FLAIR magnetic resonance.
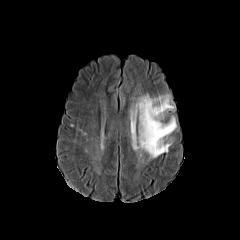
T1-weighted MRI.
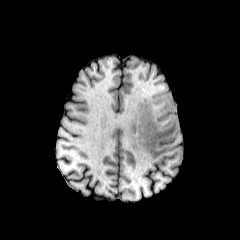
Post-contrast T1-weighted MRI.
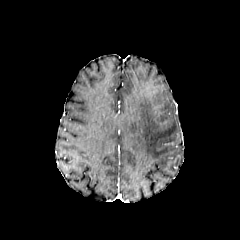
T2-weighted MR image.
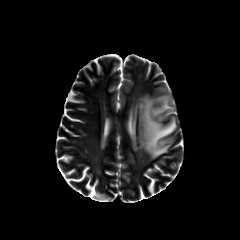
Axial slice
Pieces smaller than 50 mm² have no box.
The largest peritumoral edema region is located at box(138, 94, 176, 158).